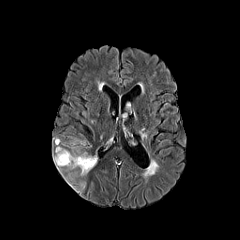
FLAIR MRI.
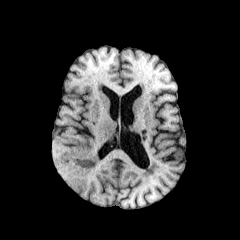
T1-weighted MRI of the same slice.
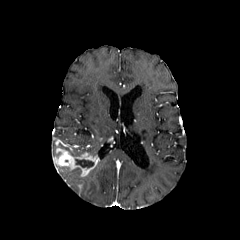
Same slice, post-contrast T1-weighted MR.
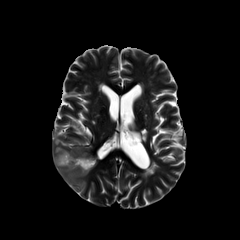
T2-weighted magnetic resonance of the same slice.
240x240 px
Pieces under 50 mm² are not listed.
The largest necrotic tumor core region is bounded by {"x1": 75, "y1": 159, "x2": 93, "y2": 167}. The enhancing tumor is bounded by {"x1": 53, "y1": 142, "x2": 98, "y2": 176}. The 3 largest peritumoral edema regions appear at {"x1": 67, "y1": 136, "x2": 86, "y2": 155}, {"x1": 151, "y1": 161, "x2": 157, "y2": 173}, {"x1": 54, "y1": 164, "x2": 85, "y2": 193}.